Axial view. Brain.
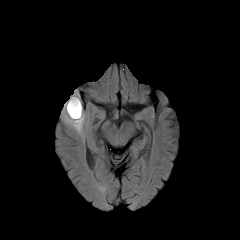
FLAIR MR.
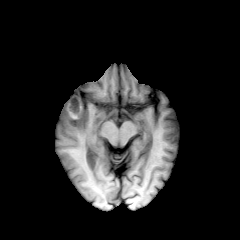
T1-weighted MR of the same slice.
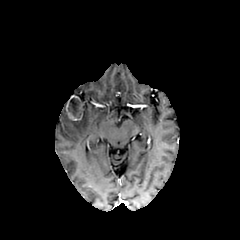
Same slice, post-contrast T1-weighted MR.
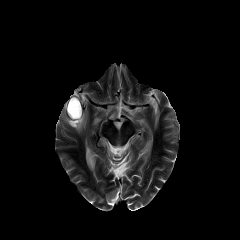
T2-weighted MRI.
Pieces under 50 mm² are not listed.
The necrotic tumor core lies within <bbox>68, 98, 82, 118</bbox>. The largest peritumoral edema region is bounded by <bbox>61, 102, 85, 134</bbox>. The enhancing tumor is located at <bbox>66, 95, 82, 120</bbox>.